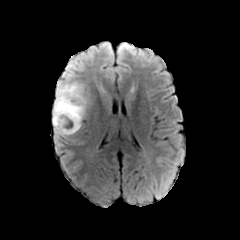
FLAIR magnetic resonance.
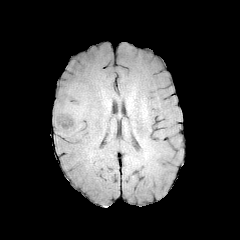
T1-weighted MR.
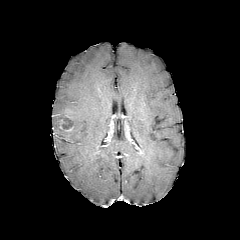
Post-contrast T1-weighted MR.
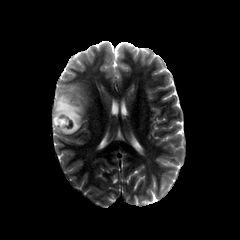
T2-weighted MR image of the same slice.
240x240. Brain.
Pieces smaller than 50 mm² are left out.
Segmented structures:
- enhancing tumor: box=[63, 111, 75, 131]
- peritumoral edema: box=[52, 78, 90, 135]
- necrotic tumor core: box=[61, 117, 71, 129]